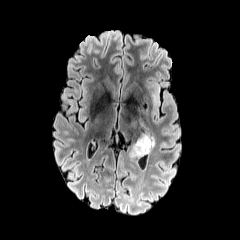
FLAIR magnetic resonance.
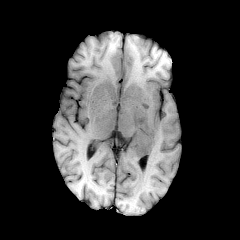
T1-weighted MR of the same slice.
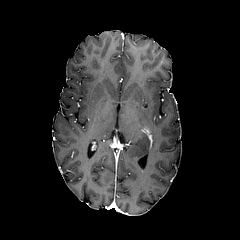
Post-contrast T1-weighted MR.
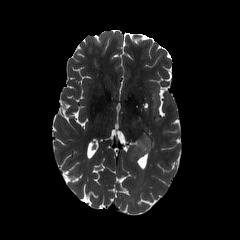
Same slice, T2-weighted magnetic resonance.
Axial plane, 240x240
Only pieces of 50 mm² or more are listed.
{
  "peritumoral_edema": [
    "134:133:149:155"
  ]
}